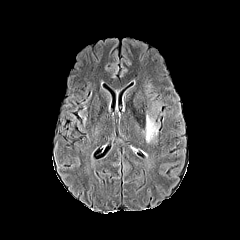
FLAIR MRI.
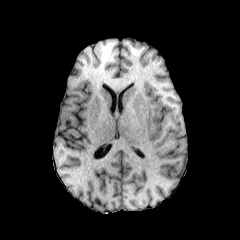
Same slice, T1-weighted MR.
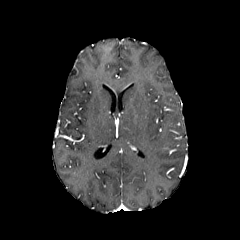
Post-contrast T1-weighted magnetic resonance.
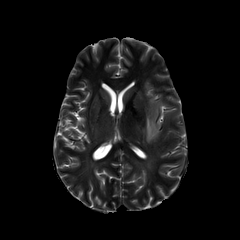
Same slice, T2-weighted MRI.
Head
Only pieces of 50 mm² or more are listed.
peritumoral edema = [146,101,160,143]